240x240; Slice 48/155; Head
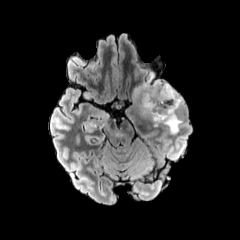
FLAIR MRI.
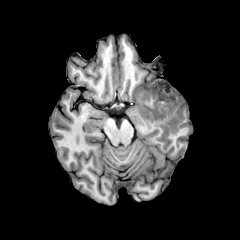
T1-weighted MR.
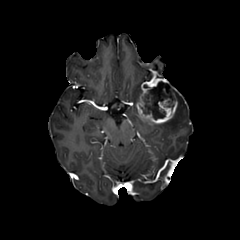
Post-contrast T1-weighted MRI of the same slice.
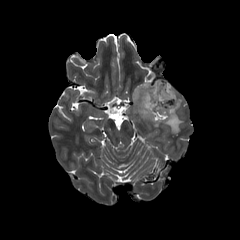
T2-weighted MR.
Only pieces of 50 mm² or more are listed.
Annotated regions:
- peritumoral edema: x1=132, y1=86, x2=140, y2=105; x1=162, y1=89, x2=183, y2=133
- enhancing tumor: x1=136, y1=76, x2=177, y2=123
- necrotic tumor core: x1=141, y1=81, x2=174, y2=119